FLAIR magnetic resonance.
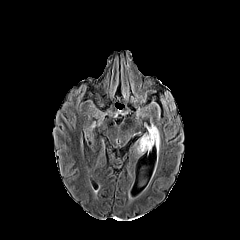
T1-weighted MRI.
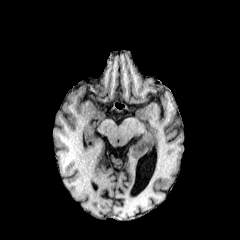
Post-contrast T1-weighted MR image.
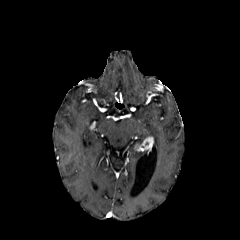
T2-weighted MR.
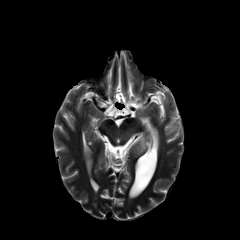
Brain, 240x240 px
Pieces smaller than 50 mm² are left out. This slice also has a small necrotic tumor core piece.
enhancing_tumor:
  - 135, 136, 153, 151
peritumoral_edema:
  - 139, 125, 159, 152